FLAIR MRI.
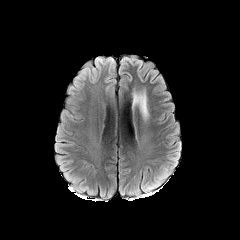
T1-weighted MR.
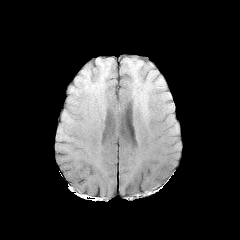
Post-contrast T1-weighted magnetic resonance.
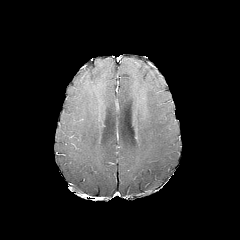
T2-weighted MRI.
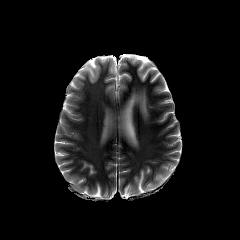
Axial slice, Head
<segmentation>
  <peritumoral_edema>bbox=[133, 92, 148, 118]</peritumoral_edema>
</segmentation>